Slice 77 of 155
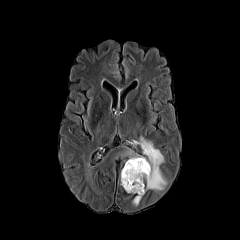
FLAIR magnetic resonance.
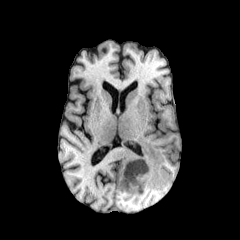
T1-weighted MR.
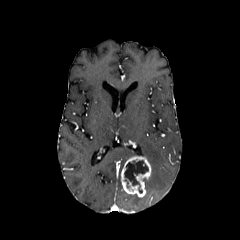
Same slice, post-contrast T1-weighted MR.
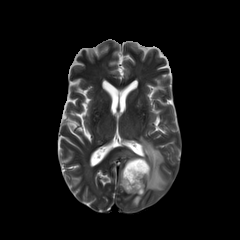
Same slice, T2-weighted MR.
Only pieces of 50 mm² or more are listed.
enhancing tumor = 121,156,151,197
peritumoral edema = 135,137,166,190; 132,196,141,205
necrotic tumor core = 124,160,148,193